FLAIR MR.
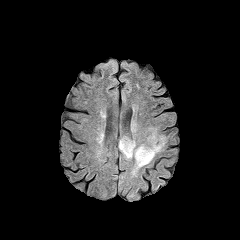
T1-weighted magnetic resonance.
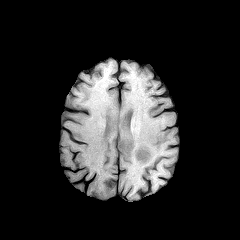
Post-contrast T1-weighted MR.
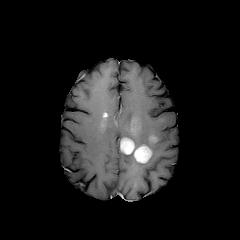
T2-weighted MRI.
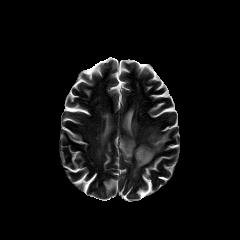
240x240 px
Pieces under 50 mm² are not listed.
peritumoral edema: bounding box [131,124,137,150], [122,151,133,160], [131,127,167,176]
enhancing tumor: bounding box [120,137,134,154], [134,145,151,163]